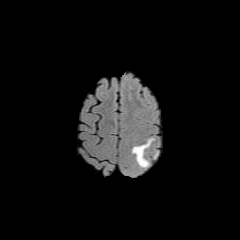
FLAIR MR image.
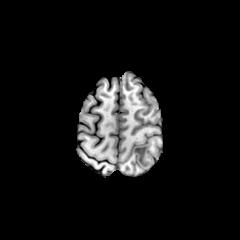
T1-weighted MR image.
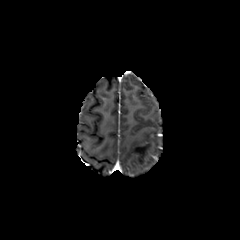
Post-contrast T1-weighted MRI.
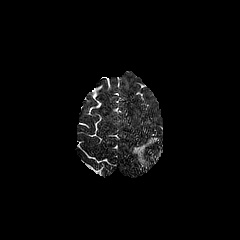
Same slice, T2-weighted magnetic resonance.
peritumoral edema: bounding box <bbox>132, 138, 154, 167</bbox>